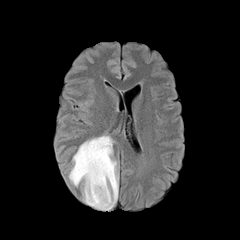
FLAIR MRI.
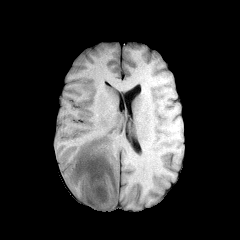
T1-weighted MRI of the same slice.
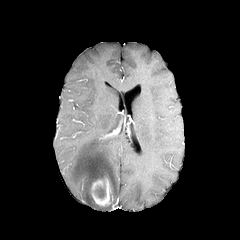
Post-contrast T1-weighted MR image.
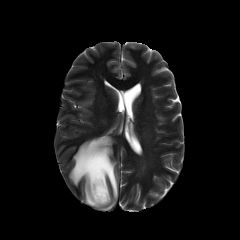
T2-weighted magnetic resonance.
Head; Axial plane; 240x240
necrotic tumor core = (96, 187, 105, 197)
peritumoral edema = (68, 135, 118, 210)
enhancing tumor = (90, 178, 110, 206)